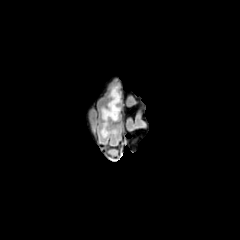
FLAIR MR.
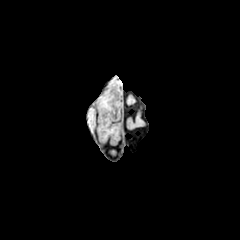
Same slice, T1-weighted MRI.
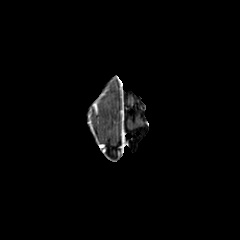
Post-contrast T1-weighted magnetic resonance.
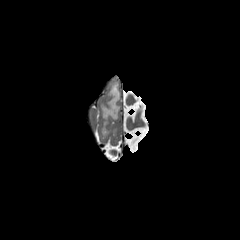
T2-weighted MR.
peritumoral edema: bounding box rect(100, 84, 120, 138)